FLAIR MR image.
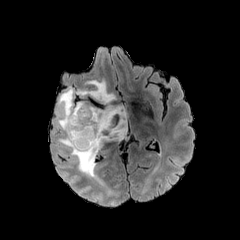
T1-weighted MRI.
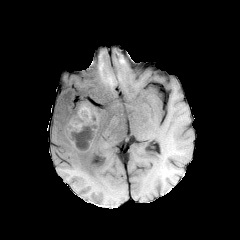
Post-contrast T1-weighted MR image.
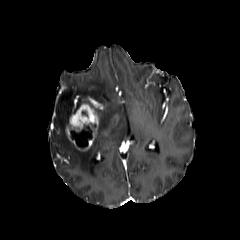
T2-weighted MR.
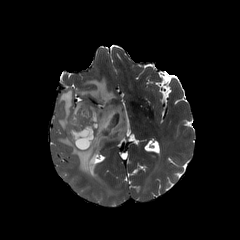
Axial view | 240x240 px
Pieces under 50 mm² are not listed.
enhancing tumor: bounding box l=66, t=103, r=99, b=150
necrotic tumor core: bounding box l=70, t=124, r=96, b=148
peritumoral edema: bounding box l=56, t=79, r=127, b=177